Axial view, Head, 240x240 px
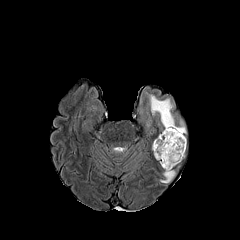
FLAIR MR.
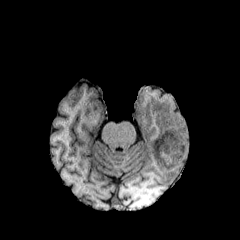
T1-weighted MR.
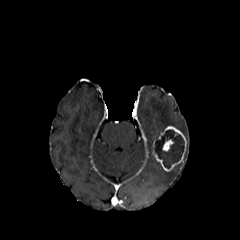
Post-contrast T1-weighted MR.
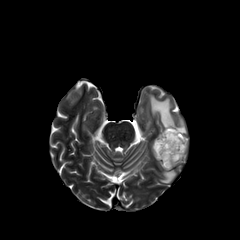
T2-weighted magnetic resonance of the same slice.
Segmented structures:
* enhancing tumor: left=162, top=139, right=173, bottom=151; left=152, top=126, right=186, bottom=171
* necrotic tumor core: left=154, top=130, right=184, bottom=168
* peritumoral edema: left=149, top=94, right=187, bottom=134; left=160, top=170, right=175, bottom=183